Head | Slice index 71 | Image size 240x240
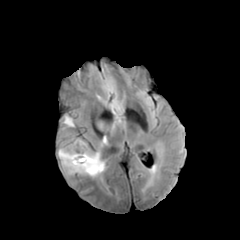
FLAIR MR image.
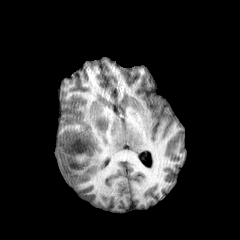
T1-weighted MR.
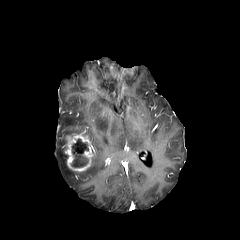
Post-contrast T1-weighted MRI.
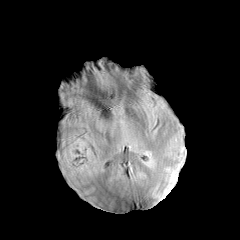
T2-weighted MRI.
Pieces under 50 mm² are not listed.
enhancing tumor: box=[61, 132, 95, 171] | peritumoral edema: box=[57, 148, 105, 177]; box=[100, 136, 107, 145]; box=[97, 121, 107, 130]; box=[62, 115, 74, 127]; box=[110, 119, 118, 134] | necrotic tumor core: box=[72, 139, 88, 166]